FLAIR MRI.
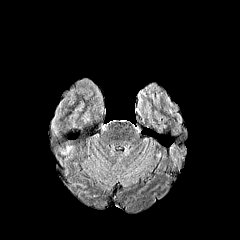
T1-weighted magnetic resonance.
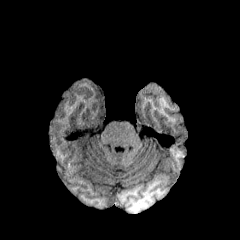
Post-contrast T1-weighted MR.
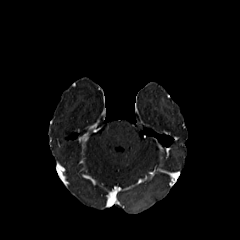
T2-weighted MR.
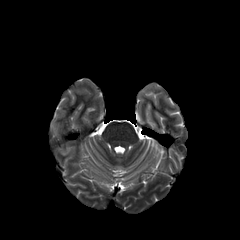
Axial plane; Brain
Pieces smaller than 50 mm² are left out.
{
  "peritumoral_edema": [
    "box=[60, 147, 71, 154]"
  ]
}